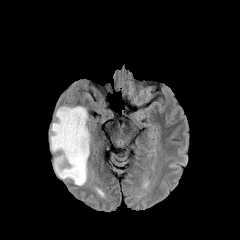
FLAIR magnetic resonance.
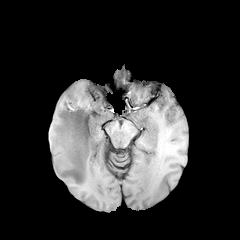
Same slice, T1-weighted magnetic resonance.
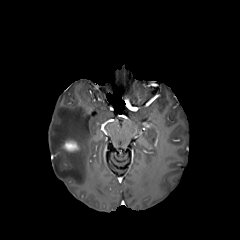
Post-contrast T1-weighted MR image.
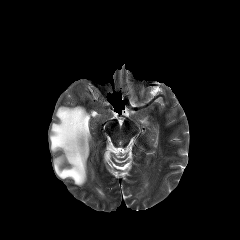
T2-weighted MR image.
Brain; 240x240
Segmented structures:
• peritumoral edema: <bbox>50, 106, 90, 185</bbox>
• enhancing tumor: <bbox>62, 139, 79, 152</bbox>